FLAIR magnetic resonance.
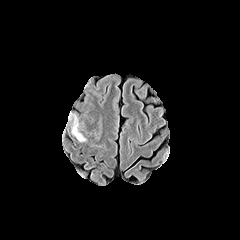
T1-weighted MR image.
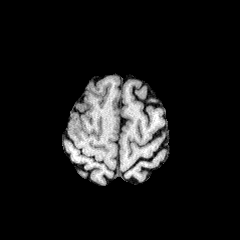
Post-contrast T1-weighted MR.
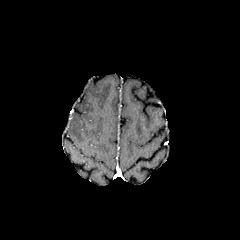
T2-weighted MRI.
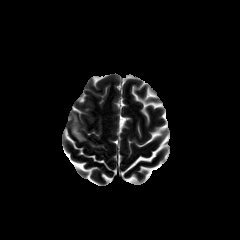
240x240. Head.
The peritumoral edema is at l=72, t=115, r=85, b=141.